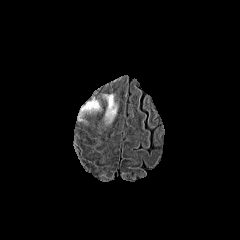
FLAIR MR image.
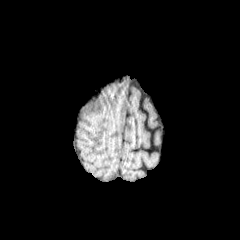
T1-weighted magnetic resonance.
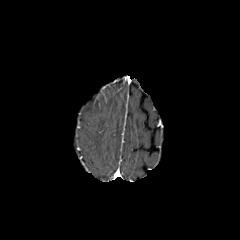
Post-contrast T1-weighted MR.
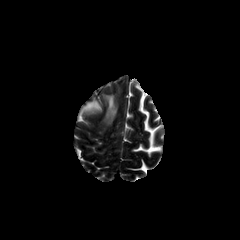
T2-weighted MRI of the same slice.
240x240
2 peritumoral edema regions are bounded by [103, 93, 118, 126], [77, 96, 102, 122].